Head
FLAIR MR image.
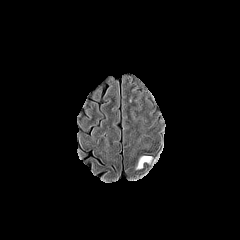
T1-weighted MR image.
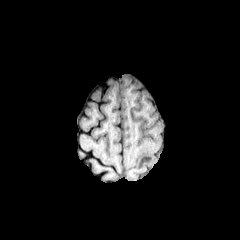
Post-contrast T1-weighted MR image.
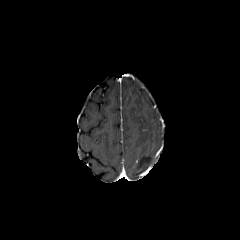
T2-weighted magnetic resonance.
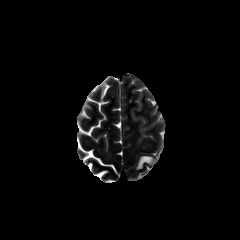
Segmented structures:
- peritumoral edema: box(137, 156, 152, 168)